Brain. Axial plane. 240x240.
FLAIR MR.
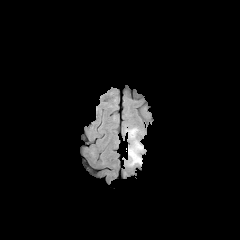
T1-weighted MR.
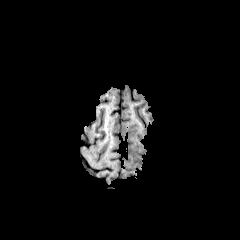
Post-contrast T1-weighted MR.
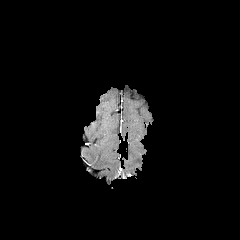
T2-weighted magnetic resonance.
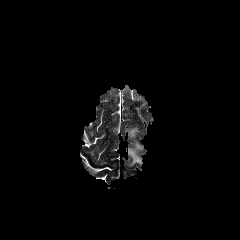
peritumoral edema = 126, 127, 138, 138; 128, 140, 143, 165